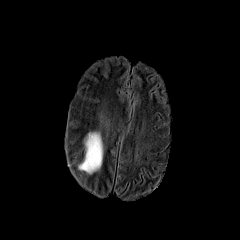
FLAIR magnetic resonance.
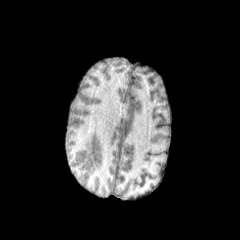
T1-weighted MR.
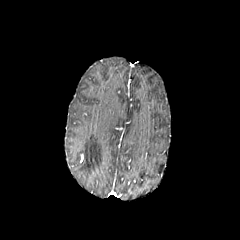
Post-contrast T1-weighted MR image.
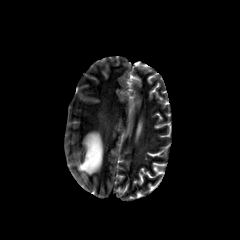
T2-weighted MR image.
Axial slice; 240x240; Brain
The peritumoral edema is located at bbox=[77, 130, 103, 174].